Slice 92 of 155, 240x240, Axial view, Image width 240 mm, Head
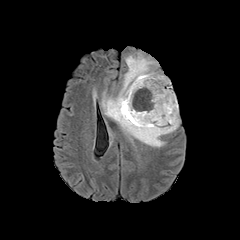
FLAIR magnetic resonance.
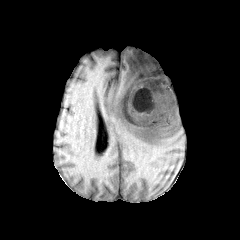
T1-weighted magnetic resonance of the same slice.
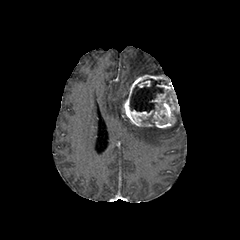
Same slice, post-contrast T1-weighted MR.
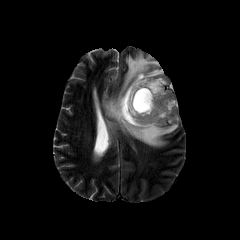
Same slice, T2-weighted MR image.
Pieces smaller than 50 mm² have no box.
* enhancing tumor: x1=121, y1=74, x2=178, y2=128
* peritumoral edema: x1=101, y1=52, x2=179, y2=147
* necrotic tumor core: x1=143, y1=114, x2=154, y2=124; x1=130, y1=79, x2=167, y2=112